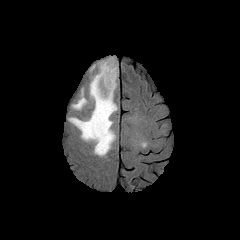
FLAIR MR.
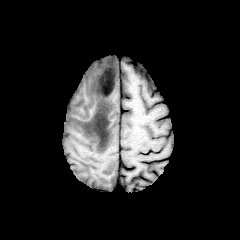
T1-weighted magnetic resonance of the same slice.
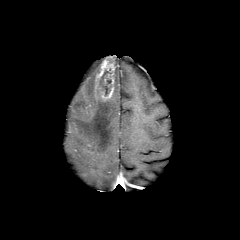
Post-contrast T1-weighted MR.
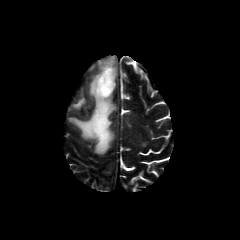
T2-weighted MRI.
Axial plane, Brain
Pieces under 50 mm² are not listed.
necrotic tumor core: bbox(100, 71, 109, 95) | peritumoral edema: bbox(68, 74, 117, 155); bbox(115, 59, 118, 88); bbox(72, 89, 86, 109) | enhancing tumor: bbox(94, 56, 115, 101)